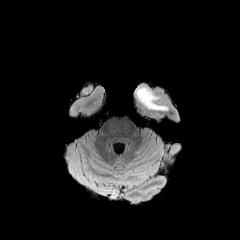
FLAIR magnetic resonance.
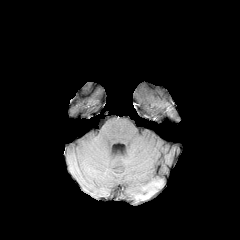
Same slice, T1-weighted magnetic resonance.
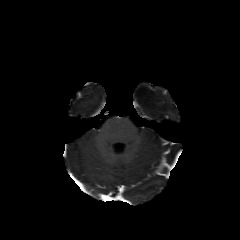
Same slice, post-contrast T1-weighted magnetic resonance.
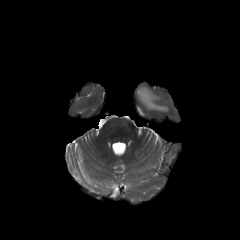
Same slice, T2-weighted MRI.
peritumoral edema = (left=134, top=85, right=168, bottom=111)